FLAIR MR.
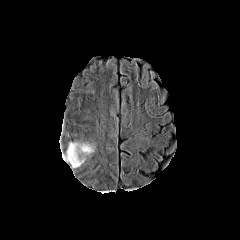
T1-weighted MR image.
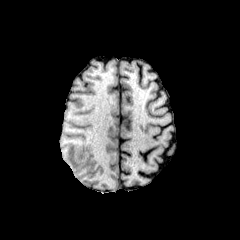
Post-contrast T1-weighted MRI.
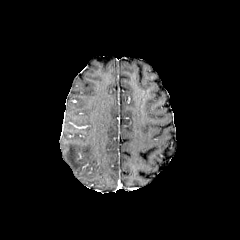
T2-weighted MR.
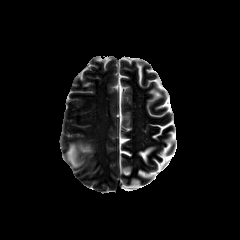
The peritumoral edema is bounded by {"x1": 66, "y1": 142, "x2": 94, "y2": 167}.